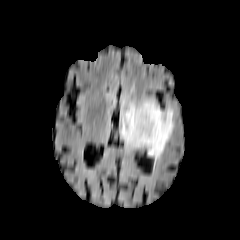
FLAIR MR image.
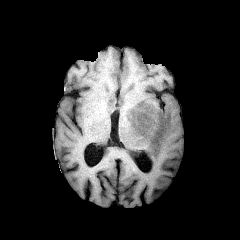
T1-weighted MR.
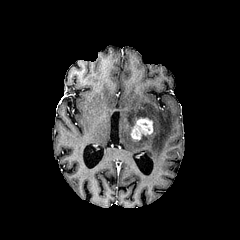
Same slice, post-contrast T1-weighted magnetic resonance.
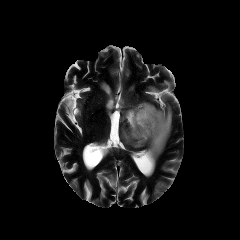
Same slice, T2-weighted MR image.
Head; Axial plane
enhancing tumor: bounding box {"x1": 131, "y1": 117, "x2": 153, "y2": 140}
peritumoral edema: bounding box {"x1": 120, "y1": 100, "x2": 176, "y2": 160}